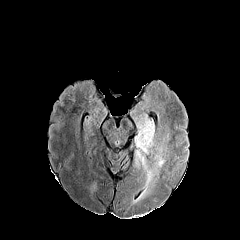
FLAIR MR image.
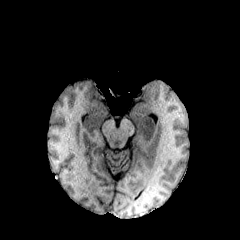
T1-weighted MR image.
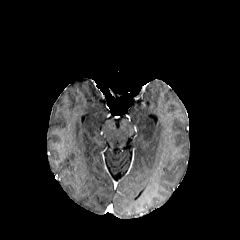
Post-contrast T1-weighted MRI.
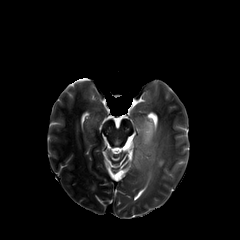
T2-weighted MR of the same slice.
Head
peritumoral edema = l=135, t=119, r=164, b=197